FLAIR magnetic resonance.
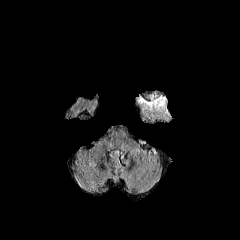
T1-weighted MR.
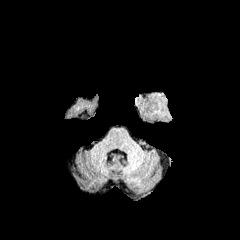
Post-contrast T1-weighted magnetic resonance.
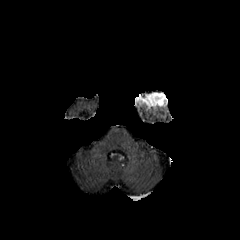
T2-weighted MR image.
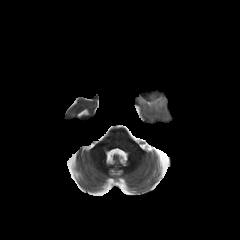
Brain | 240x240 px | Axial plane
enhancing tumor: <bbox>136, 92, 167, 112</bbox>
peritumoral edema: <bbox>141, 106, 168, 119</bbox>